Image covers 240 mm x 240 mm. Axial plane. Brain.
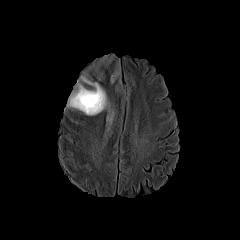
FLAIR MR.
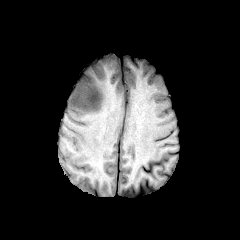
T1-weighted magnetic resonance.
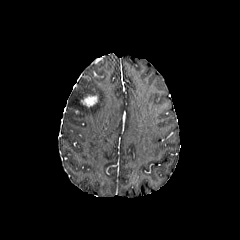
Post-contrast T1-weighted MR.
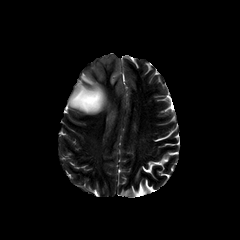
T2-weighted MR.
peritumoral_edema:
  - bbox(68, 54, 119, 125)
enhancing_tumor:
  - bbox(81, 95, 98, 106)